Brain
FLAIR magnetic resonance.
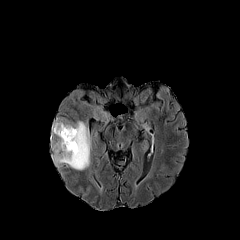
T1-weighted MRI.
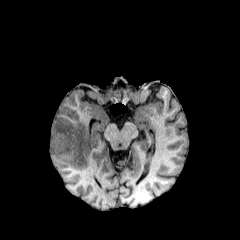
Post-contrast T1-weighted MR image.
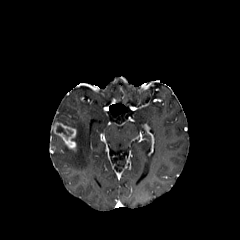
T2-weighted MR image.
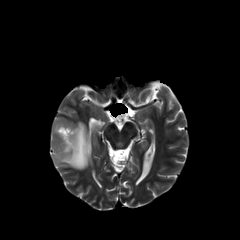
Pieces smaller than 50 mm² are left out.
Findings:
• necrotic tumor core: l=56, t=126, r=68, b=136
• enhancing tumor: l=51, t=122, r=76, b=150
• peritumoral edema: l=51, t=117, r=91, b=170